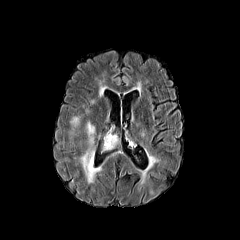
FLAIR MR.
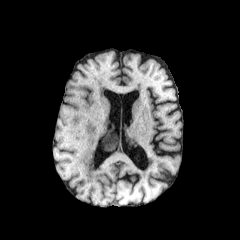
T1-weighted MR image.
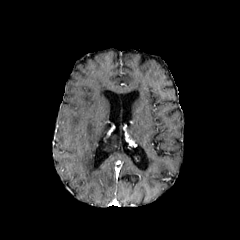
Same slice, post-contrast T1-weighted MR image.
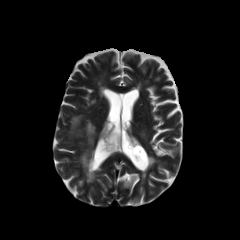
T2-weighted magnetic resonance.
Head, Axial plane
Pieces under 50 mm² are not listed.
The 3 largest peritumoral edema regions appear at box=[103, 136, 117, 150]; box=[87, 123, 94, 144]; box=[82, 151, 100, 182].